FLAIR MRI.
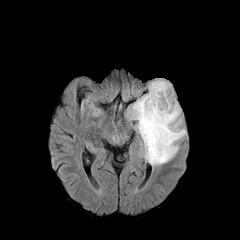
T1-weighted MR image.
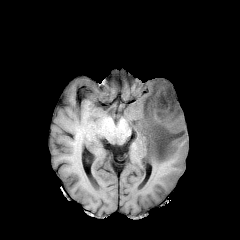
Post-contrast T1-weighted MR image.
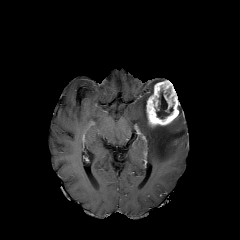
T2-weighted MR.
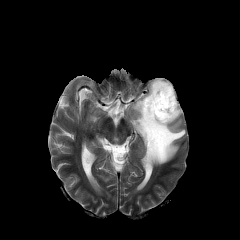
Brain | Axial plane
Findings:
• necrotic tumor core: box(156, 91, 172, 118)
• peritumoral edema: box(128, 78, 186, 165)
• enhancing tumor: box(146, 80, 179, 127)